Slice 62 of 155. Head.
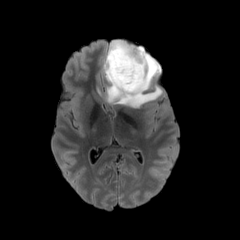
FLAIR MR.
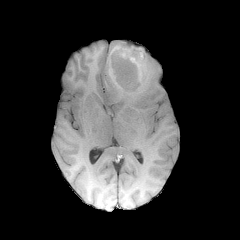
T1-weighted magnetic resonance.
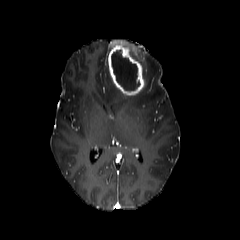
Post-contrast T1-weighted MR.
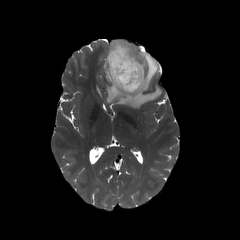
T2-weighted magnetic resonance.
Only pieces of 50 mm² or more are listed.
enhancing tumor at (x1=108, y1=40, x2=145, y2=96)
necrotic tumor core at (x1=111, y1=50, x2=139, y2=90)
peritumoral edema at (x1=103, y1=46, x2=162, y2=108)